FLAIR MR image.
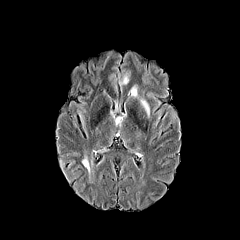
T1-weighted MR image.
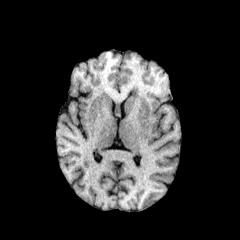
Post-contrast T1-weighted MR image.
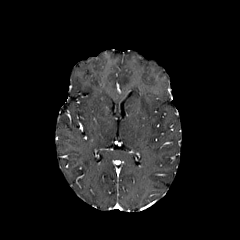
T2-weighted MRI.
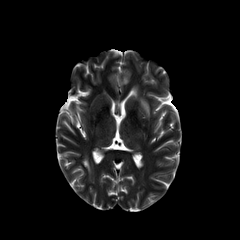
Head | 240x240
<segmentation>
  <peritumoral_edema>127:84:137:98, 137:98:150:118, 119:71:129:85, 80:156:90:173</peritumoral_edema>
</segmentation>